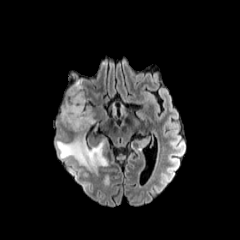
FLAIR magnetic resonance.
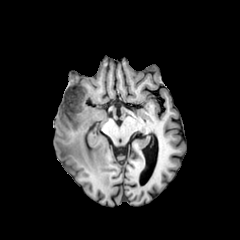
Same slice, T1-weighted MR image.
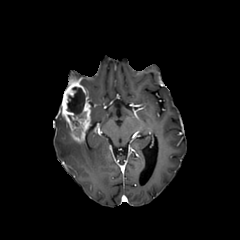
Post-contrast T1-weighted MR.
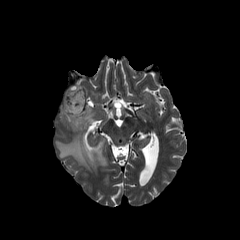
Same slice, T2-weighted MR.
Axial view; Image size 240x240; Head
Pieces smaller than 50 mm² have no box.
<segmentation>
  <necrotic_tumor_core>{"x1": 67, "y1": 87, "x2": 85, "y2": 116}</necrotic_tumor_core>
  <peritumoral_edema>{"x1": 56, "y1": 140, "x2": 107, "y2": 169}</peritumoral_edema>
  <enhancing_tumor>{"x1": 60, "y1": 81, "x2": 90, "y2": 143}</enhancing_tumor>
</segmentation>